Image size 240x240 | Slice 86 of 155 | Head | Image covers 240 mm x 240 mm
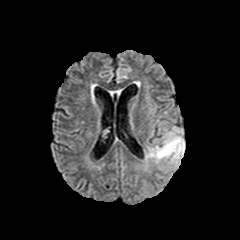
FLAIR MRI.
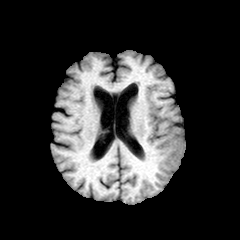
T1-weighted magnetic resonance.
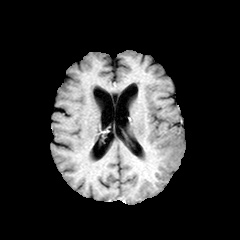
Post-contrast T1-weighted MRI.
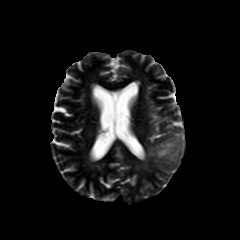
T2-weighted MRI of the same slice.
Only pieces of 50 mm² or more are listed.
peritumoral_edema:
  - l=148, t=127, r=185, b=166